240x240 px; Axial view; Brain
FLAIR MRI.
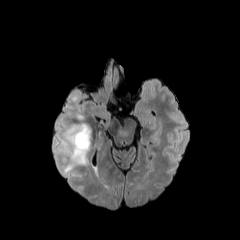
T1-weighted MR image.
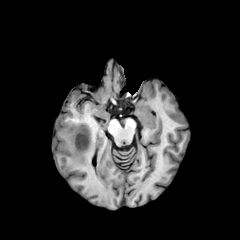
Post-contrast T1-weighted magnetic resonance.
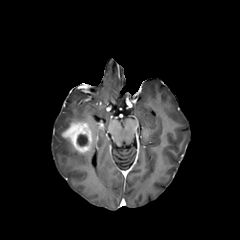
T2-weighted MR.
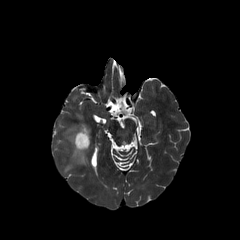
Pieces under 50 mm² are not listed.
enhancing tumor: bounding box x1=62 y1=121 x2=92 y2=153
necrotic tumor core: bounding box x1=77 y1=134 x2=87 y2=145
peritumoral edema: bounding box x1=58 y1=124 x2=87 y2=171